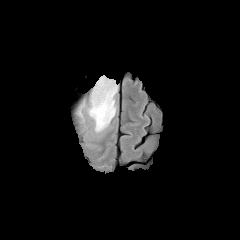
FLAIR MRI.
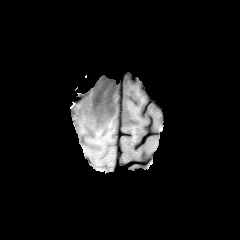
Same slice, T1-weighted MR.
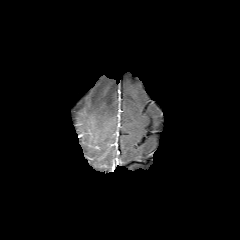
Post-contrast T1-weighted MRI.
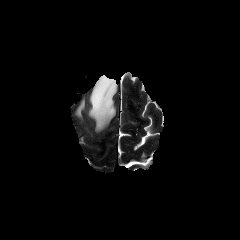
T2-weighted MR image.
Image size 240x240
{
  "peritumoral_edema": [
    "(77,101,84,116)",
    "(88,75,117,131)"
  ]
}